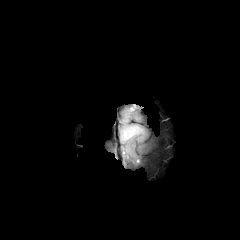
FLAIR magnetic resonance.
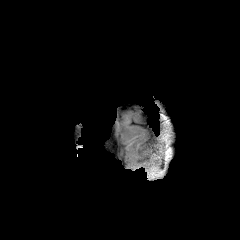
T1-weighted MR.
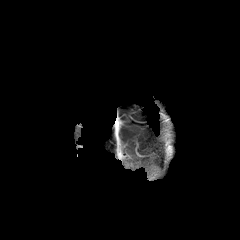
Post-contrast T1-weighted MR image.
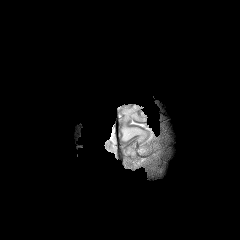
T2-weighted magnetic resonance of the same slice.
240x240 px
The peritumoral edema is at {"x1": 123, "y1": 127, "x2": 140, "y2": 140}.